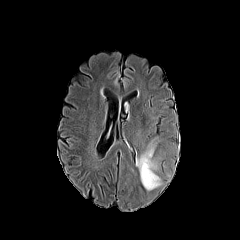
FLAIR magnetic resonance.
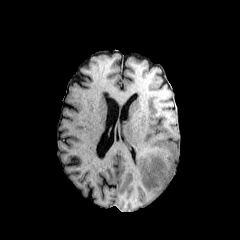
T1-weighted MR image.
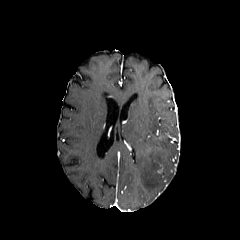
Same slice, post-contrast T1-weighted MR image.
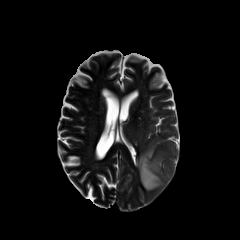
T2-weighted MR image.
Brain, Axial plane
peritumoral_edema:
  - left=136, top=146, right=161, bottom=190